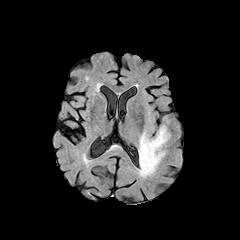
FLAIR magnetic resonance.
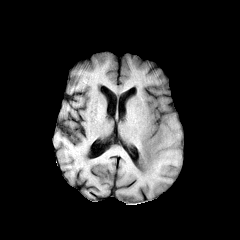
T1-weighted MRI.
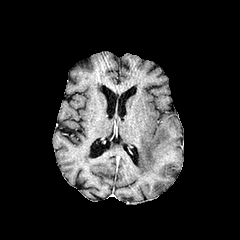
Post-contrast T1-weighted MRI.
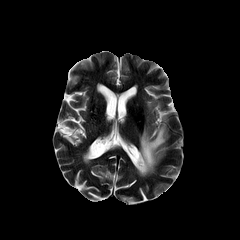
Same slice, T2-weighted MR.
Axial slice.
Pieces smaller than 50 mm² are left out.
The largest peritumoral edema region appears at 137, 124, 169, 177.